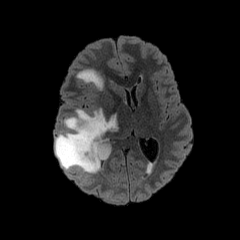
FLAIR magnetic resonance.
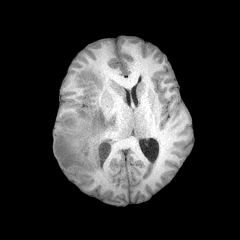
T1-weighted MR image of the same slice.
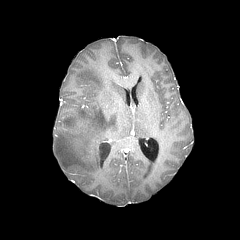
Post-contrast T1-weighted MR image of the same slice.
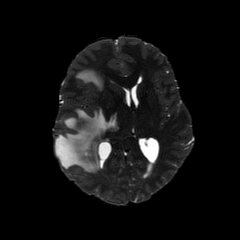
T2-weighted MR image.
240x240, Axial view
2 peritumoral edema regions appear at left=76, top=69, right=103, bottom=90; left=54, top=108, right=117, bottom=173.